Axial plane, Slice 118 of 155
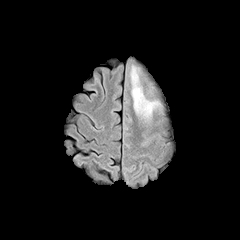
FLAIR MR.
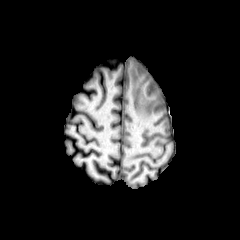
T1-weighted magnetic resonance of the same slice.
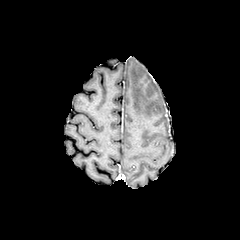
Post-contrast T1-weighted MR image.
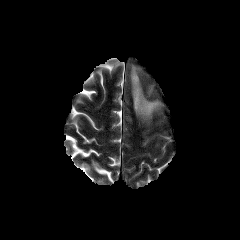
T2-weighted MRI.
{"peritumoral_edema": ["box(130, 65, 160, 118)"]}